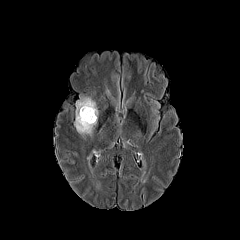
FLAIR MR.
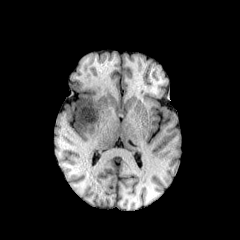
T1-weighted magnetic resonance of the same slice.
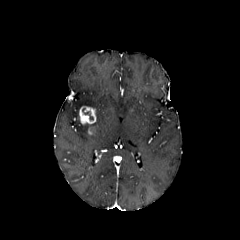
Post-contrast T1-weighted MR of the same slice.
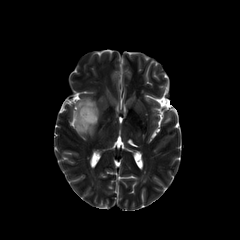
Same slice, T2-weighted MRI.
240x240 px
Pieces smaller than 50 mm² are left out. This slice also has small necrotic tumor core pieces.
The largest enhancing tumor region lies within 79, 106, 96, 124. The peritumoral edema appears at 75, 97, 98, 134.